FLAIR magnetic resonance.
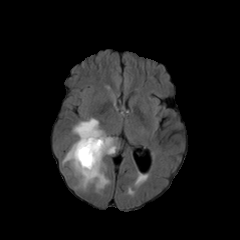
T1-weighted magnetic resonance.
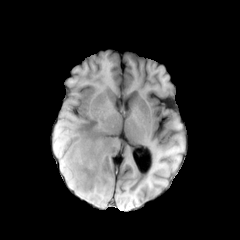
Post-contrast T1-weighted magnetic resonance.
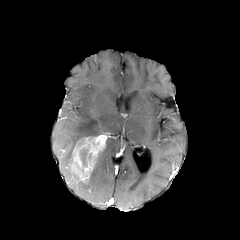
T2-weighted magnetic resonance.
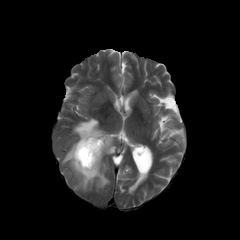
Axial slice | Head
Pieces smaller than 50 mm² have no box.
The enhancing tumor is bounded by (x1=69, y1=134, x2=107, y2=183). The 3 largest peritumoral edema regions are located at (x1=73, y1=118, x2=105, y2=139), (x1=62, y1=142, x2=76, y2=163), (x1=76, y1=137, x2=116, y2=190). The necrotic tumor core is at (x1=80, y1=148, x2=87, y2=164).